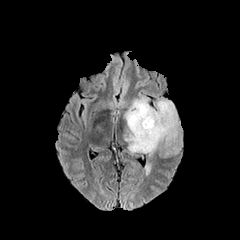
FLAIR MR.
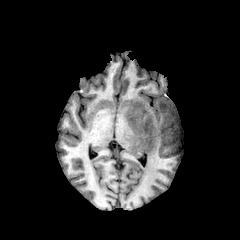
T1-weighted MR of the same slice.
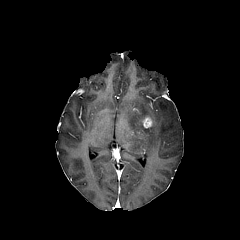
Post-contrast T1-weighted MR.
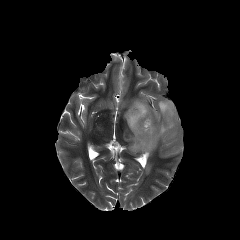
T2-weighted MR of the same slice.
Axial plane; Head
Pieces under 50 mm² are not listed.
<segmentation>
  <peritumoral_edema>box(124, 96, 179, 155)</peritumoral_edema>
  <enhancing_tumor>box(142, 117, 152, 127)</enhancing_tumor>
</segmentation>